FLAIR MRI.
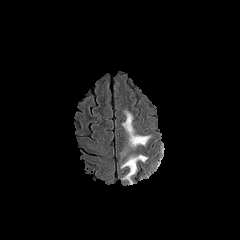
T1-weighted magnetic resonance.
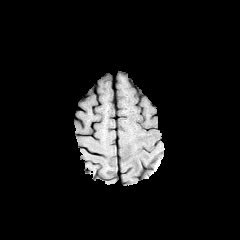
Post-contrast T1-weighted MR.
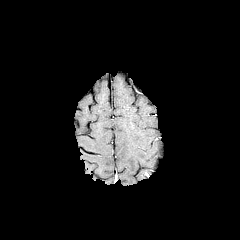
T2-weighted magnetic resonance.
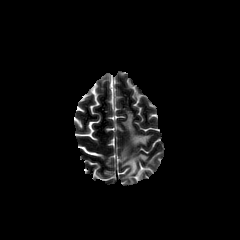
Head.
2 peritumoral edema regions are located at 121 154 148 184, 121 110 151 157.